Axial view; Brain
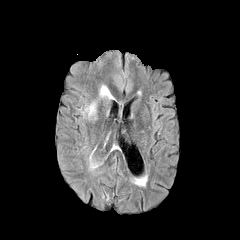
FLAIR magnetic resonance.
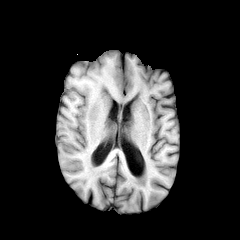
T1-weighted MR.
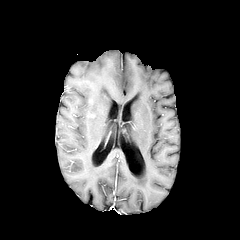
Same slice, post-contrast T1-weighted MR.
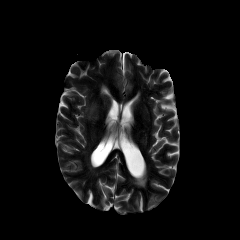
T2-weighted MR.
Segmented structures:
• peritumoral edema: box=[85, 103, 95, 118]; box=[100, 85, 112, 98]